FLAIR MRI.
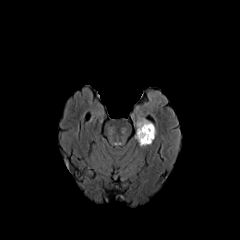
T1-weighted magnetic resonance.
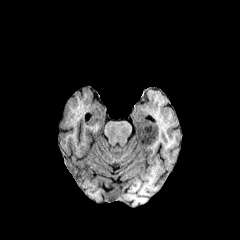
Post-contrast T1-weighted MR.
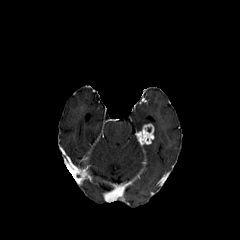
T2-weighted MR.
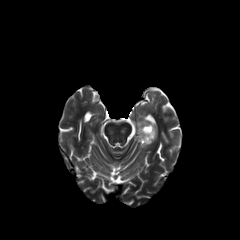
240x240. Axial view.
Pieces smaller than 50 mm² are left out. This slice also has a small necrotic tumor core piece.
The largest peritumoral edema region lies within bbox=[136, 116, 150, 130]. The enhancing tumor lies within bbox=[135, 123, 154, 145].